Brain
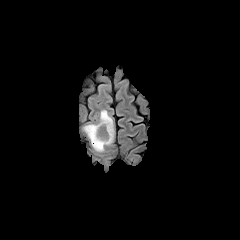
FLAIR MRI.
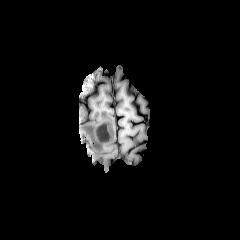
T1-weighted magnetic resonance.
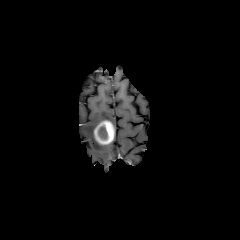
Post-contrast T1-weighted MR image.
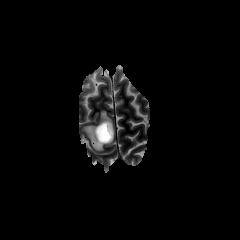
T2-weighted MR.
enhancing tumor: bounding box (94,120,114,144)
peritumoral edema: bounding box (82,110,115,152)
necrotic tumor core: bounding box (99,127,106,138)